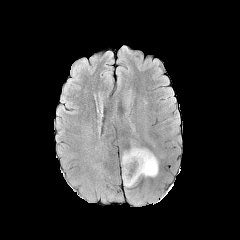
FLAIR MRI.
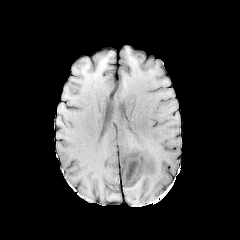
Same slice, T1-weighted MR image.
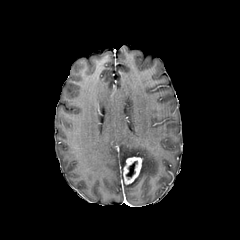
Post-contrast T1-weighted MR image.
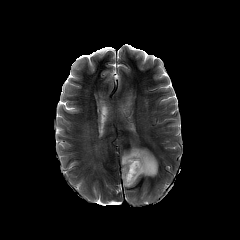
T2-weighted MR image.
Brain
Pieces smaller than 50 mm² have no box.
Findings:
• peritumoral edema: [x1=121, y1=145, x2=158, y2=187]
• necrotic tumor core: [x1=126, y1=161, x2=137, y2=179]
• enhancing tumor: [x1=123, y1=157, x2=142, y2=184]